Slice index 72 | Brain | Image covers 240 mm x 240 mm
FLAIR magnetic resonance.
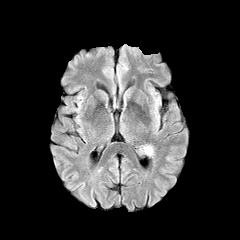
T1-weighted MRI.
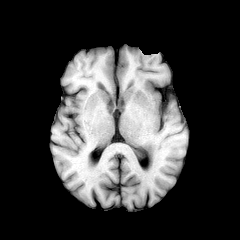
Post-contrast T1-weighted MRI.
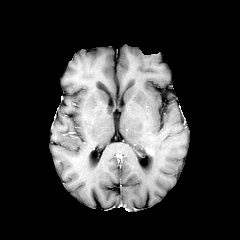
T2-weighted MR.
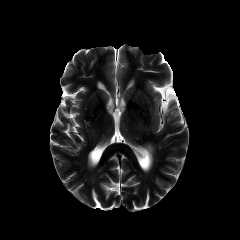
enhancing_tumor:
  - 140:137:158:154